Axial plane; Head
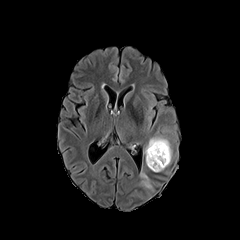
FLAIR MR image.
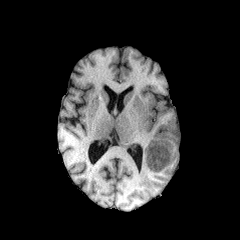
Same slice, T1-weighted MRI.
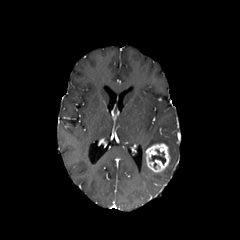
Post-contrast T1-weighted MR.
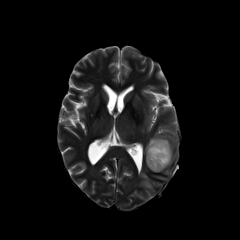
T2-weighted MRI of the same slice.
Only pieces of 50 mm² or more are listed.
necrotic tumor core = 150:150:165:164
peritumoral edema = 144:136:172:164, 141:173:152:189
enhancing tumor = 145:143:170:172